240x240 px. Axial slice.
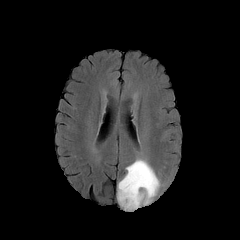
FLAIR MR image.
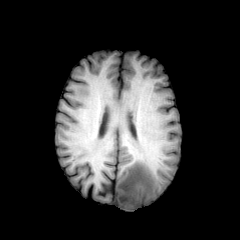
T1-weighted magnetic resonance.
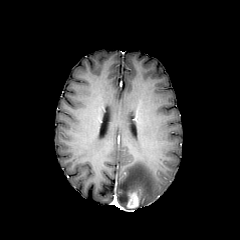
Same slice, post-contrast T1-weighted MR image.
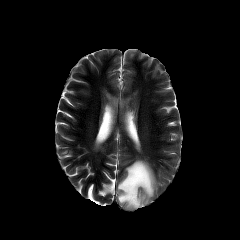
T2-weighted magnetic resonance.
enhancing tumor: bounding box 127:191:139:208
peritumoral edema: bounding box 117:159:160:210